Brain, Axial slice, Image width 240 mm, 1.00 mm slice spacing
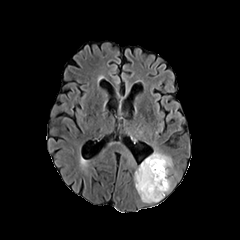
FLAIR MR.
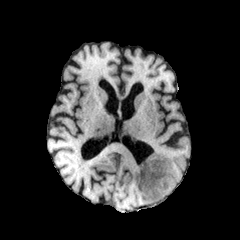
T1-weighted MRI.
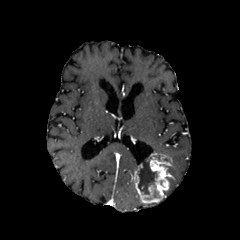
Post-contrast T1-weighted magnetic resonance.
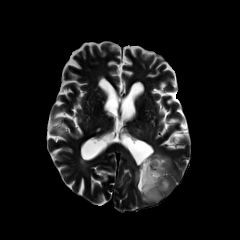
Same slice, T2-weighted magnetic resonance.
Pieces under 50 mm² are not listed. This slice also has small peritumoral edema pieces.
Annotated regions:
- necrotic tumor core: (left=138, top=160, right=156, bottom=194)
- enhancing tumor: (left=133, top=153, right=172, bottom=203)